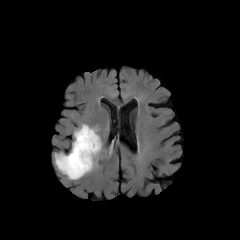
FLAIR MR.
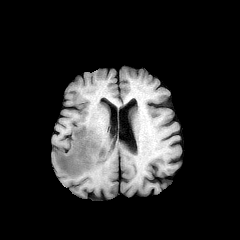
Same slice, T1-weighted MR.
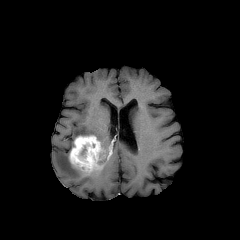
Post-contrast T1-weighted MR of the same slice.
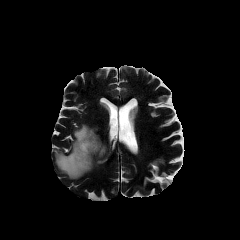
Same slice, T2-weighted magnetic resonance.
240x240 | Brain
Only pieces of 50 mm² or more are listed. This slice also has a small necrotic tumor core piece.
Annotated regions:
* peritumoral edema: box(74, 124, 102, 147); box(54, 152, 89, 179)
* enhancing tumor: box(69, 135, 104, 172)